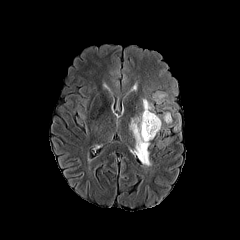
FLAIR MRI.
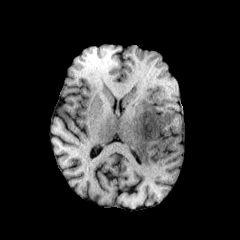
T1-weighted magnetic resonance.
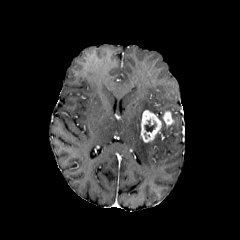
Post-contrast T1-weighted magnetic resonance.
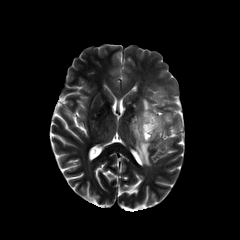
T2-weighted MR.
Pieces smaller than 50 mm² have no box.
• necrotic tumor core: [x1=144, y1=121, x2=155, y2=131]
• peritumoral edema: [x1=129, y1=114, x2=150, y2=166], [x1=142, y1=99, x2=153, y2=112], [x1=154, y1=92, x2=165, y2=103]
• enhancing tumor: [x1=141, y1=110, x2=162, y2=142], [x1=162, y1=111, x2=173, y2=126]